FLAIR magnetic resonance.
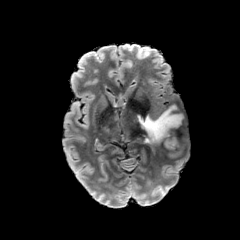
T1-weighted MR.
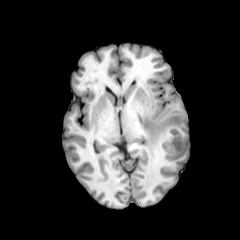
Post-contrast T1-weighted magnetic resonance.
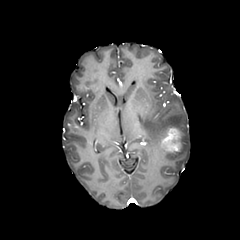
T2-weighted MR.
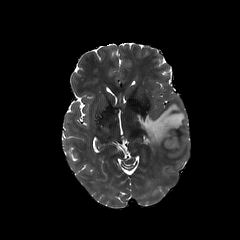
Axial view, 240x240, Head
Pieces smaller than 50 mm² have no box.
enhancing_tumor:
  - left=161, top=128, right=181, bottom=152
peritumoral_edema:
  - left=137, top=104, right=183, bottom=143